Axial slice
FLAIR MRI.
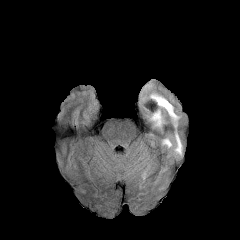
T1-weighted MR.
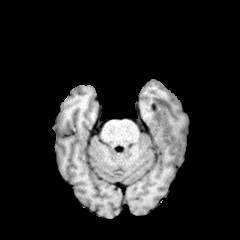
Post-contrast T1-weighted magnetic resonance.
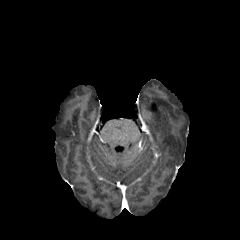
T2-weighted MR image.
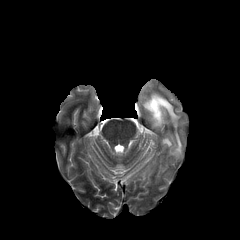
2 peritumoral edema regions are located at 150,93,182,156; 150,109,165,129.